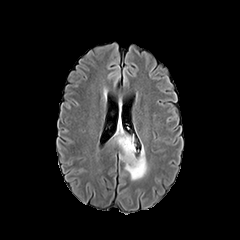
FLAIR magnetic resonance.
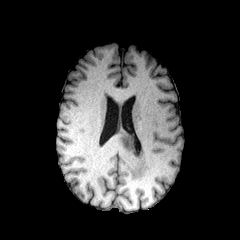
Same slice, T1-weighted MRI.
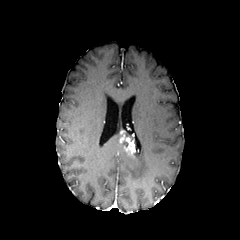
Post-contrast T1-weighted MR image of the same slice.
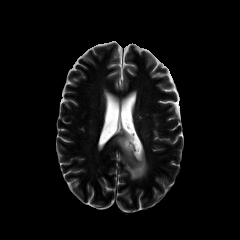
T2-weighted magnetic resonance of the same slice.
Axial view, 240x240 px
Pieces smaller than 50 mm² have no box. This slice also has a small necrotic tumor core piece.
enhancing_tumor:
  - (119,135,135,156)
peritumoral_edema:
  - (114,126,147,179)